FLAIR MRI.
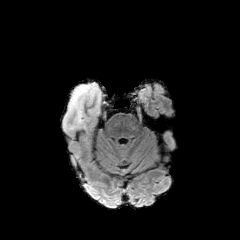
T1-weighted MR image.
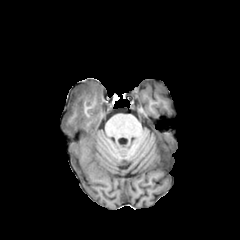
Post-contrast T1-weighted magnetic resonance.
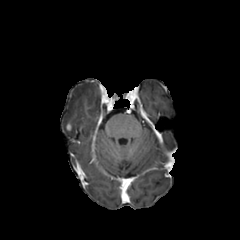
T2-weighted MR image.
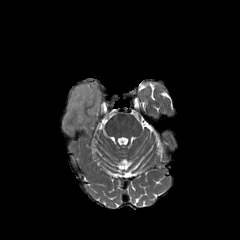
Axial slice
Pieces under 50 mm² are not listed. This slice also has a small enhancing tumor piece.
{
  "peritumoral_edema": [
    "62:80:102:135"
  ]
}